Slice index 66.
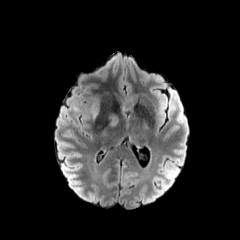
FLAIR MRI.
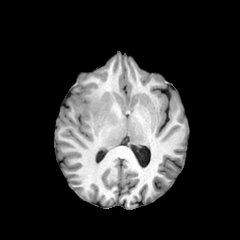
T1-weighted magnetic resonance.
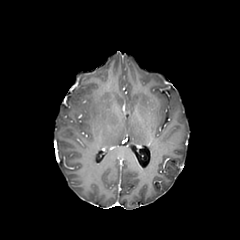
Post-contrast T1-weighted magnetic resonance.
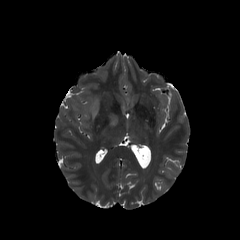
T2-weighted MR image of the same slice.
2 peritumoral edema regions are bounded by bbox(109, 113, 118, 126); bbox(91, 95, 101, 117).